Image width 240 mm, 1.00 mm slice spacing, Slice 48/155, Brain
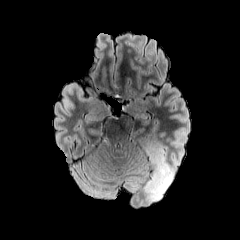
FLAIR magnetic resonance.
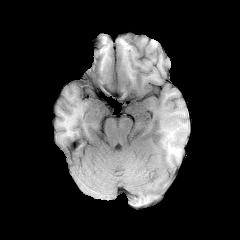
T1-weighted MR image.
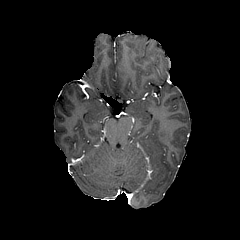
Post-contrast T1-weighted MR image.
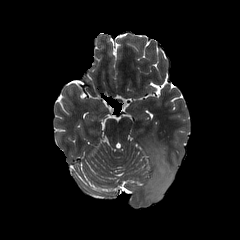
T2-weighted MRI.
Segmented structures:
- peritumoral edema: x1=142 y1=138 x2=174 y2=201